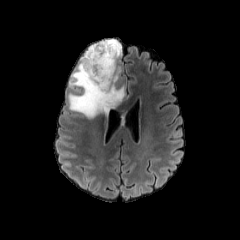
FLAIR MR image.
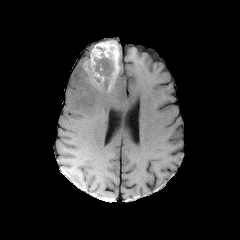
T1-weighted MRI of the same slice.
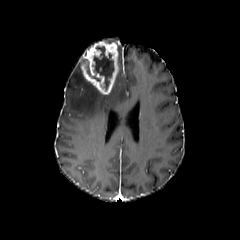
Post-contrast T1-weighted MR.
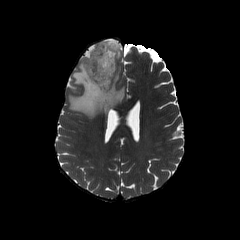
T2-weighted magnetic resonance of the same slice.
Axial slice; Brain
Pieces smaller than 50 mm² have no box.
- peritumoral edema: [x1=68, y1=39, x2=125, y2=118]
- necrotic tumor core: [x1=93, y1=45, x2=113, y2=89], [x1=84, y1=59, x2=90, y2=75]
- enhancing tumor: [x1=81, y1=41, x2=118, y2=94]